Image width 240 mm, 1.00 mm slice spacing | Brain
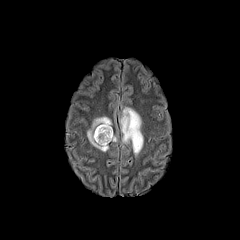
FLAIR MR image.
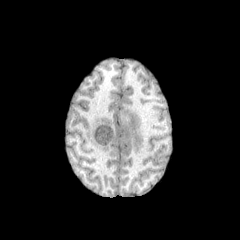
Same slice, T1-weighted MR image.
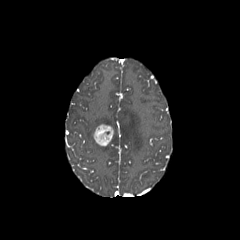
Post-contrast T1-weighted MR.
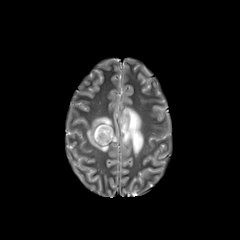
T2-weighted MRI of the same slice.
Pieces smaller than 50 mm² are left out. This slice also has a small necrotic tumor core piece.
The enhancing tumor is located at rect(93, 124, 113, 146). The 2 largest peritumoral edema regions are located at rect(119, 107, 143, 156); rect(87, 116, 111, 151).